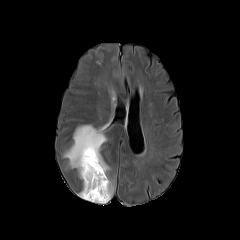
FLAIR MRI.
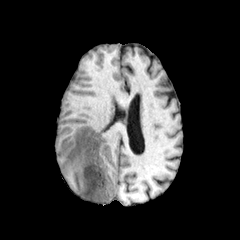
Same slice, T1-weighted magnetic resonance.
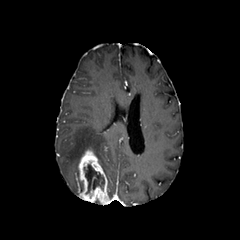
Post-contrast T1-weighted MR image.
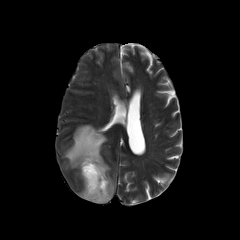
T2-weighted MR image.
Brain
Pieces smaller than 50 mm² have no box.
The largest peritumoral edema region is at {"x1": 63, "y1": 122, "x2": 114, "y2": 199}. The largest enhancing tumor region is bounded by {"x1": 78, "y1": 149, "x2": 109, "y2": 204}. The necrotic tumor core appears at {"x1": 84, "y1": 164, "x2": 104, "y2": 193}.